Image width 240 mm, 1.00 mm slice spacing. Brain. Axial view. Slice 93 of 155.
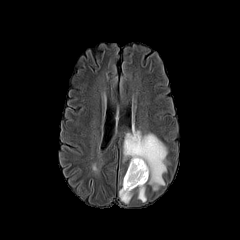
FLAIR magnetic resonance.
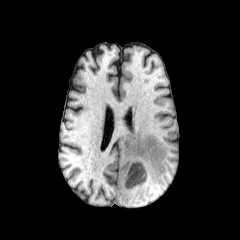
Same slice, T1-weighted MR image.
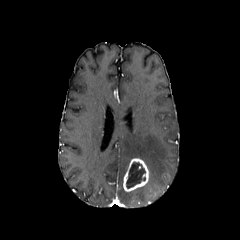
Post-contrast T1-weighted MR.
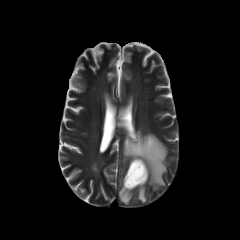
T2-weighted MR image.
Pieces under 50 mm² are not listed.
3 peritumoral edema regions are located at (119, 182, 132, 203), (137, 185, 146, 202), (123, 126, 167, 189). The necrotic tumor core lies within (126, 162, 145, 188). The largest enhancing tumor region is at (123, 158, 149, 191).